Image width 240 mm, 1.00 mm slice spacing. 240x240 px. Brain. Axial plane.
FLAIR MR.
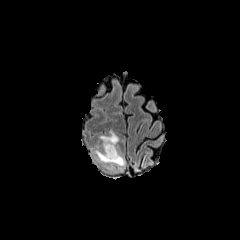
T1-weighted MRI.
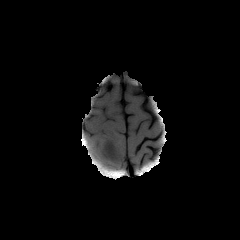
Post-contrast T1-weighted magnetic resonance.
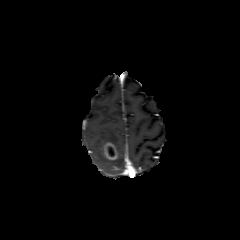
T2-weighted MR.
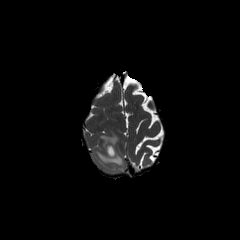
<segmentation>
  <peritumoral_edema>box=[95, 129, 122, 164]</peritumoral_edema>
  <enhancing_tumor>box=[102, 141, 118, 160]</enhancing_tumor>
  <necrotic_tumor_core>box=[108, 147, 114, 156]</necrotic_tumor_core>
</segmentation>